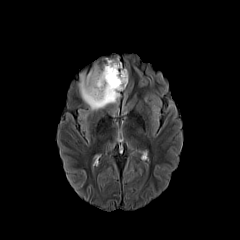
FLAIR MR image.
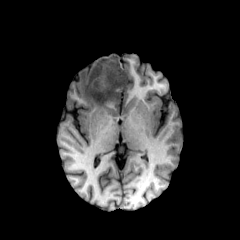
T1-weighted magnetic resonance of the same slice.
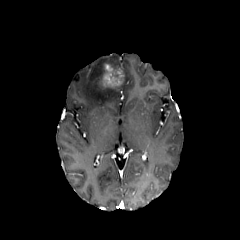
Post-contrast T1-weighted MR image of the same slice.
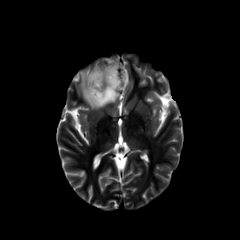
Same slice, T2-weighted magnetic resonance.
Image size 240x240 | Brain
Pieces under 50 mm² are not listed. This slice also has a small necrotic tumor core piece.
The peritumoral edema appears at region(78, 57, 128, 111). The enhancing tumor is bounded by region(101, 64, 124, 88).